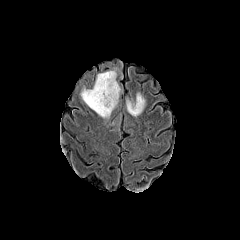
FLAIR MRI.
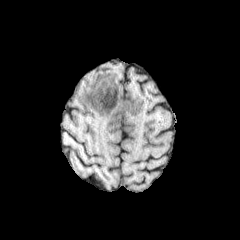
T1-weighted magnetic resonance.
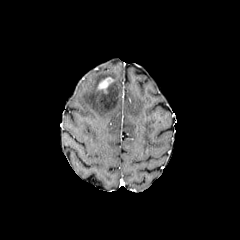
Post-contrast T1-weighted MR.
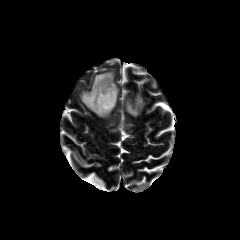
T2-weighted magnetic resonance of the same slice.
Head, 240x240 px
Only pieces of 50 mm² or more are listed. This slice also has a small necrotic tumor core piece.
The enhancing tumor appears at (x1=98, y1=77, x2=113, y2=92). 2 peritumoral edema regions are bounded by (x1=126, y1=93, x2=144, y2=116), (x1=81, y1=70, x2=120, y2=118).